FLAIR MRI.
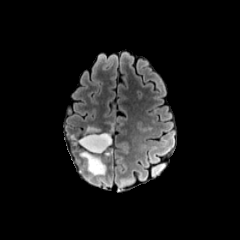
T1-weighted magnetic resonance.
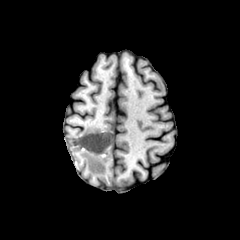
Post-contrast T1-weighted MR.
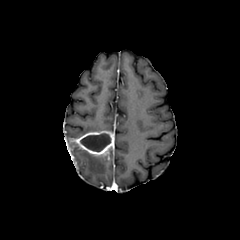
T2-weighted MR.
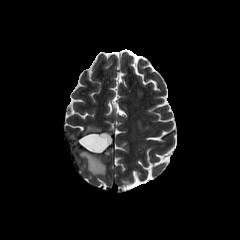
Head | 240x240 px | Axial view
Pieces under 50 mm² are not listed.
<segmentation>
  <enhancing_tumor>region(76, 131, 113, 155)</enhancing_tumor>
  <necrotic_tumor_core>region(80, 133, 110, 151)</necrotic_tumor_core>
  <peritumoral_edema>region(85, 126, 101, 133); region(80, 151, 106, 174)</peritumoral_edema>
</segmentation>